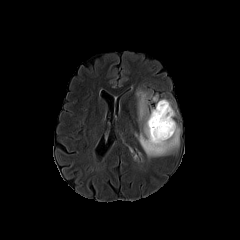
FLAIR MR image.
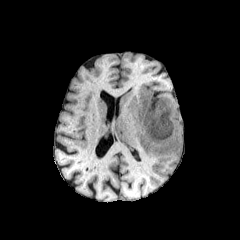
T1-weighted MR image of the same slice.
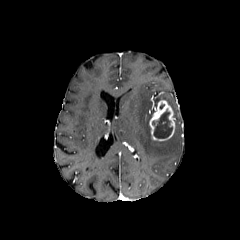
Post-contrast T1-weighted MR.
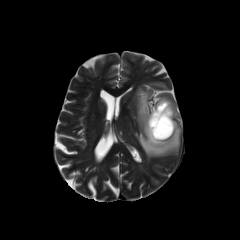
T2-weighted magnetic resonance.
Head; Axial view; 240x240 px
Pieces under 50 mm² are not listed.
The largest enhancing tumor region is at (149, 100, 175, 141). The largest necrotic tumor core region is at (152, 111, 172, 138). The 2 largest peritumoral edema regions appear at (135, 89, 180, 158), (161, 98, 176, 116).